FLAIR MR.
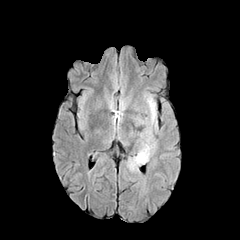
T1-weighted MR image.
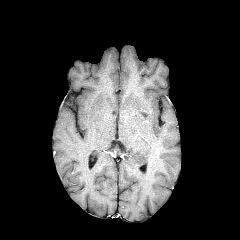
Post-contrast T1-weighted MRI.
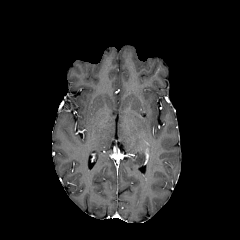
T2-weighted MRI.
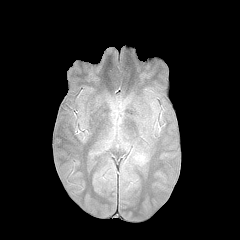
Head
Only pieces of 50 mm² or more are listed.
peritumoral edema at 147, 99, 155, 122; 132, 138, 151, 164